Image width 240 mm, 1.00 mm slice spacing; Axial view; Brain
FLAIR magnetic resonance.
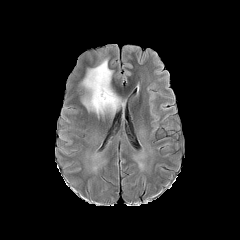
T1-weighted magnetic resonance.
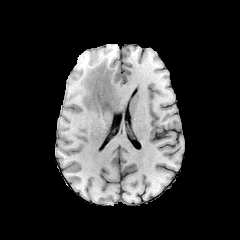
Post-contrast T1-weighted magnetic resonance.
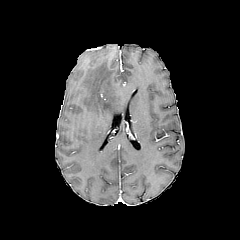
T2-weighted MR.
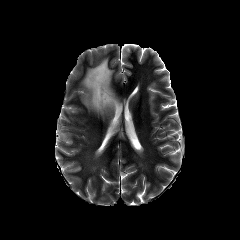
peritumoral edema = bbox(77, 59, 124, 115)